Axial view | 240x240 px | Slice 60 of 155
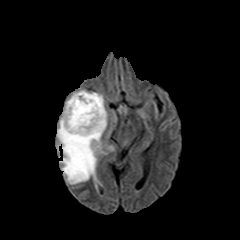
FLAIR magnetic resonance.
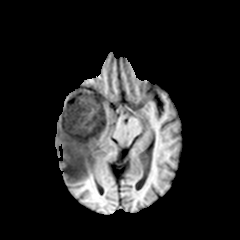
Same slice, T1-weighted MR image.
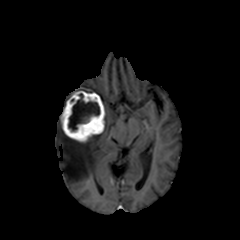
Same slice, post-contrast T1-weighted MRI.
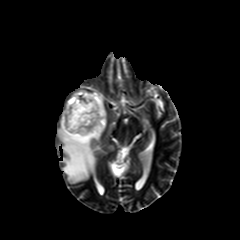
T2-weighted magnetic resonance of the same slice.
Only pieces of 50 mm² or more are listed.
peritumoral edema: region(57, 120, 103, 184) | enhancing tumor: region(61, 91, 105, 142) | necrotic tumor core: region(68, 93, 99, 130)